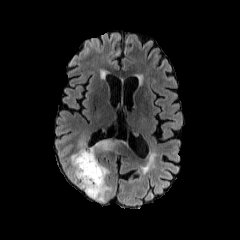
FLAIR MR image.
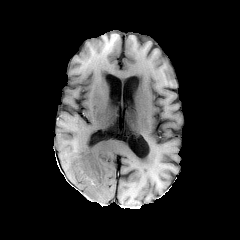
T1-weighted magnetic resonance of the same slice.
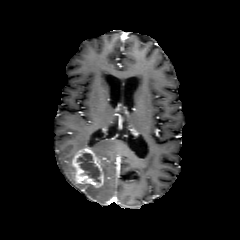
Post-contrast T1-weighted MR image of the same slice.
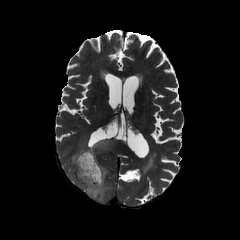
Same slice, T2-weighted MRI.
enhancing tumor at (72, 148, 103, 187)
necrotic tumor core at (77, 153, 100, 182)
peritumoral edema at (79, 139, 115, 155), (67, 152, 111, 202)